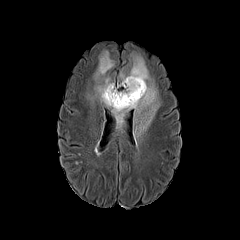
FLAIR MRI.
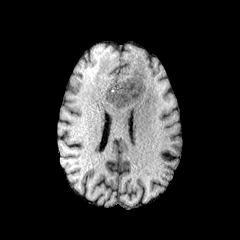
Same slice, T1-weighted MR.
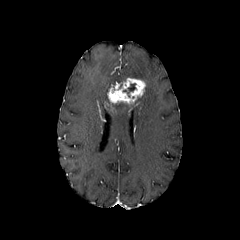
Post-contrast T1-weighted magnetic resonance.
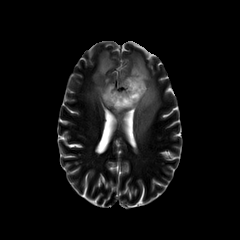
Same slice, T2-weighted MR image.
Brain
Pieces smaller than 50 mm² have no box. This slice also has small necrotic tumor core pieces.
The enhancing tumor appears at (x1=107, y1=77, x2=145, y2=106). The peritumoral edema lies within (x1=94, y1=51, x2=159, y2=140).